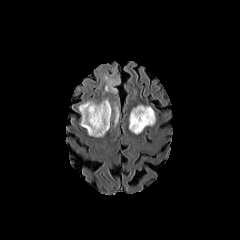
FLAIR MRI.
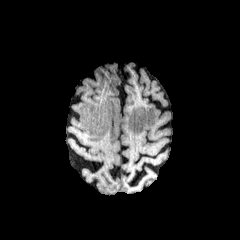
T1-weighted MR.
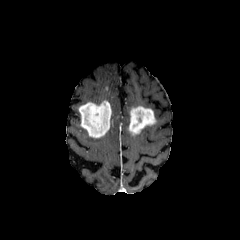
Post-contrast T1-weighted MR image.
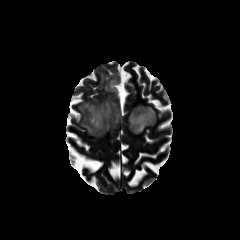
T2-weighted MRI.
Head.
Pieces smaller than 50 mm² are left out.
Annotated regions:
* peritumoral edema: l=110, t=102, r=119, b=126; l=102, t=70, r=120, b=93
* enhancing tumor: l=129, t=106, r=155, b=134; l=79, t=100, r=111, b=138